Head | Axial view
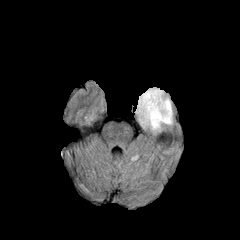
FLAIR MRI.
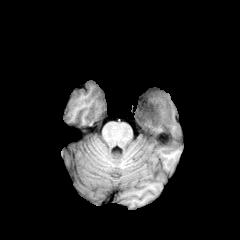
T1-weighted MRI of the same slice.
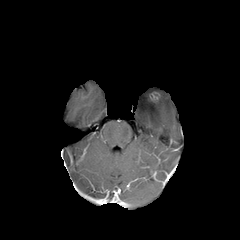
Post-contrast T1-weighted MR image of the same slice.
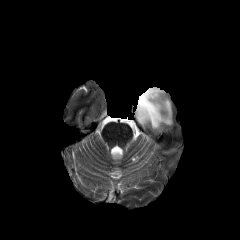
T2-weighted MR.
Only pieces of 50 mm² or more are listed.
The peritumoral edema lies within l=135, t=87, r=173, b=133. The largest necrotic tumor core region is bounded by l=140, t=94, r=158, b=122. The enhancing tumor is bounded by l=138, t=91, r=160, b=124.